Axial slice; Slice 62 of 155; Brain
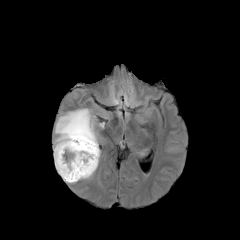
FLAIR magnetic resonance.
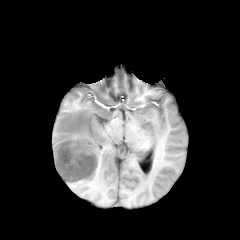
T1-weighted MR image of the same slice.
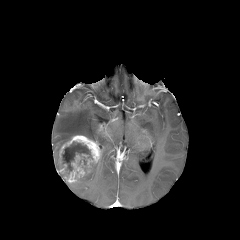
Same slice, post-contrast T1-weighted MRI.
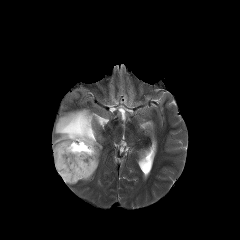
T2-weighted MR of the same slice.
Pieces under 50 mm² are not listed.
The enhancing tumor appears at x1=57, y1=135, x2=100, y2=183. The 2 largest peritumoral edema regions are bounded by x1=53, y1=108, x2=98, y2=169; x1=79, y1=159, x2=99, y2=180. The largest necrotic tumor core region lies within x1=62, y1=142, x2=90, y2=171.